240x240 px, Brain, Slice 72/155
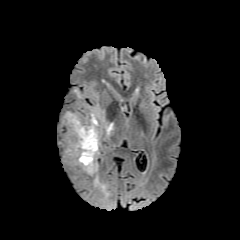
FLAIR MR.
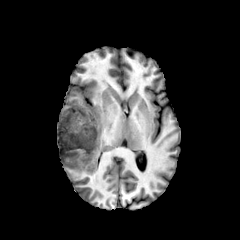
T1-weighted MR image.
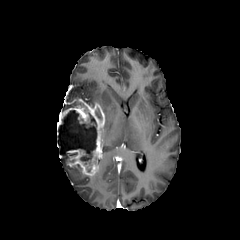
Same slice, post-contrast T1-weighted MRI.
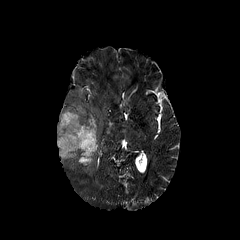
Same slice, T2-weighted MRI.
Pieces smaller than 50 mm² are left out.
Findings:
• peritumoral edema: (104, 120, 113, 136)
• necrotic tumor core: (58, 110, 96, 164)
• enhancing tumor: (57, 99, 104, 175)